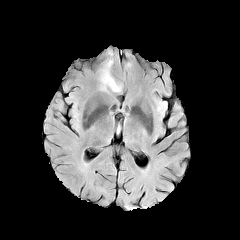
FLAIR MR image.
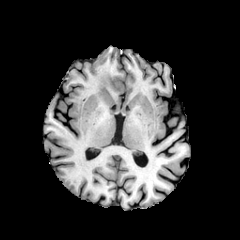
T1-weighted MR.
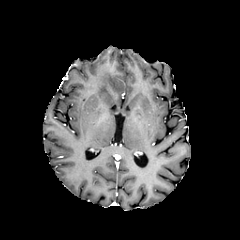
Post-contrast T1-weighted MR image.
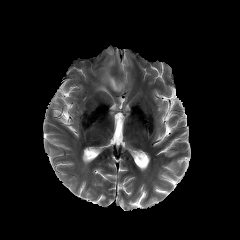
Same slice, T2-weighted MR image.
240x240 px, Head, Axial view
peritumoral edema: [99, 61, 122, 91]